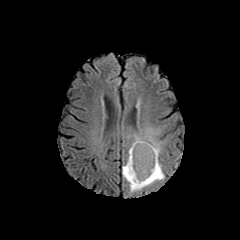
FLAIR MR.
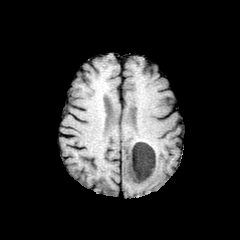
Same slice, T1-weighted magnetic resonance.
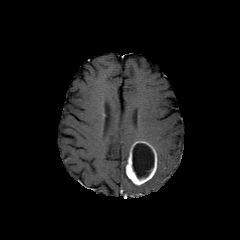
Post-contrast T1-weighted magnetic resonance.
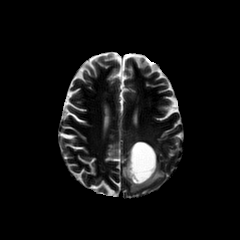
T2-weighted MRI of the same slice.
Brain. Axial plane.
Segmented structures:
- enhancing tumor: region(126, 141, 157, 185)
- necrotic tumor core: region(132, 143, 153, 178)
- peritumoral edema: region(122, 127, 164, 193)